Slice 122 of 155 | 240x240 px | Image width 240 mm | Head
FLAIR MR.
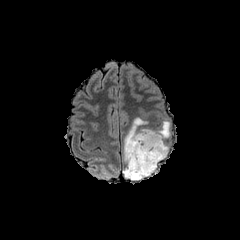
T1-weighted MR.
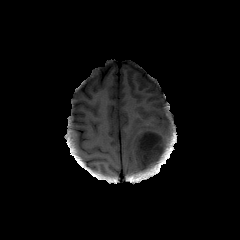
Post-contrast T1-weighted MR image.
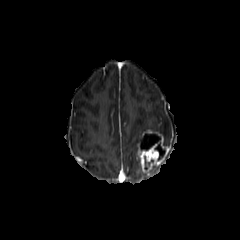
T2-weighted magnetic resonance.
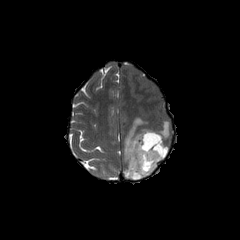
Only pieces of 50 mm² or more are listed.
Segmented structures:
• peritumoral edema: (x1=123, y1=117, x2=148, y2=180), (x1=153, y1=120, x2=170, y2=145)
• enhancing tumor: (x1=136, y1=129, x2=170, y2=176)
• necrotic tumor core: (x1=140, y1=133, x2=165, y2=160)